FLAIR MRI.
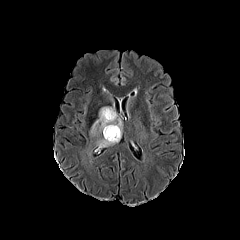
T1-weighted MRI.
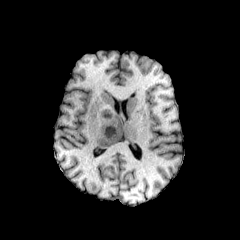
Post-contrast T1-weighted MR.
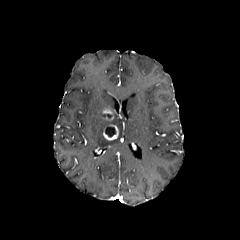
T2-weighted MR.
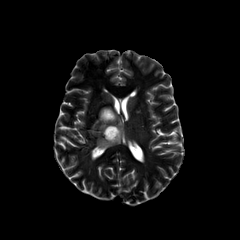
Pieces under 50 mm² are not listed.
peritumoral edema = x1=90 y1=107 x2=121 y2=147
enhancing tumor = x1=103 y1=124 x2=118 y2=140, x1=102 y1=108 x2=114 y2=121
necrotic tumor core = x1=105 y1=127 x2=115 y2=136